FLAIR MR.
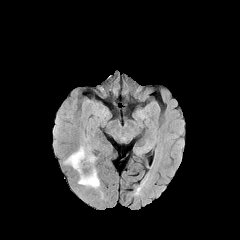
T1-weighted MRI.
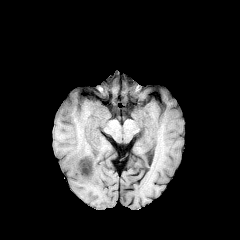
Post-contrast T1-weighted MR.
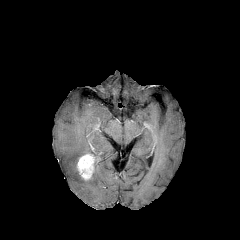
T2-weighted magnetic resonance.
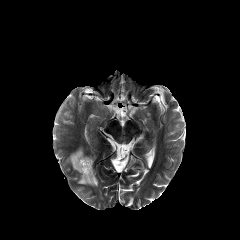
Brain; Axial slice
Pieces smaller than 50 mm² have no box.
{
  "enhancing_tumor": [
    "[76, 154, 95, 180]"
  ],
  "peritumoral_edema": [
    "[64, 146, 89, 170]",
    "[78, 169, 99, 187]"
  ]
}